FLAIR magnetic resonance.
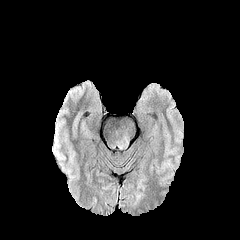
T1-weighted MRI.
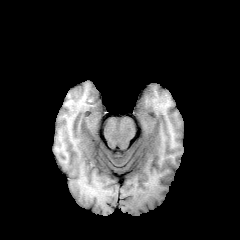
Post-contrast T1-weighted magnetic resonance.
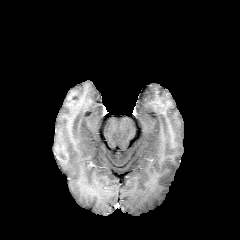
T2-weighted MRI.
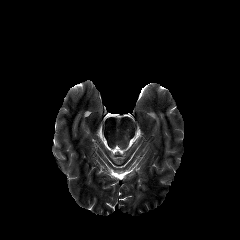
The peritumoral edema is bounded by [x1=118, y1=137, x2=129, y2=148].